FLAIR MR image.
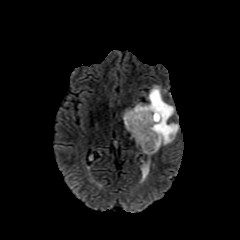
T1-weighted MR.
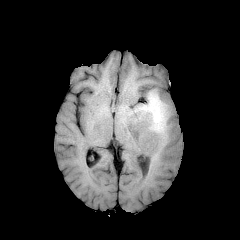
Post-contrast T1-weighted MRI.
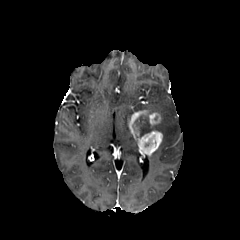
T2-weighted MR.
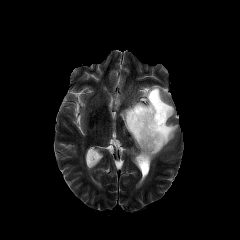
Head.
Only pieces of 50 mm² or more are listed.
necrotic tumor core: (left=135, top=115, right=154, bottom=137) | peritumoral edema: (left=122, top=85, right=178, bottom=155) | enhancing tumor: (left=148, top=112, right=160, bottom=125), (left=128, top=110, right=162, bottom=156)